240x240 px
FLAIR MR.
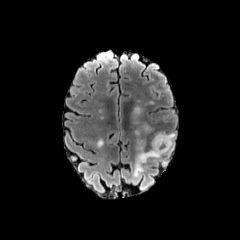
T1-weighted MR.
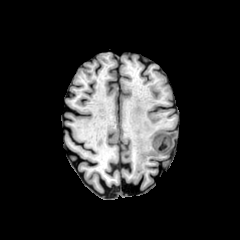
Post-contrast T1-weighted MR image.
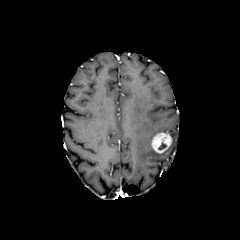
T2-weighted MR.
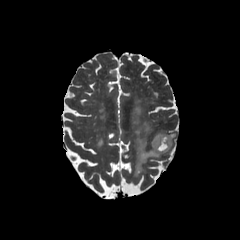
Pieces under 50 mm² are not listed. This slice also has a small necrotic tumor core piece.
peritumoral_edema:
  - (134,132,176,176)
  - (144,123,155,132)
enhancing_tumor:
  - (152,132,171,153)